FLAIR MRI.
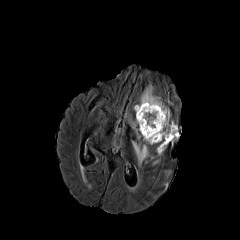
T1-weighted MR.
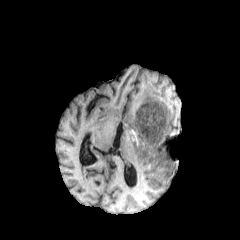
Post-contrast T1-weighted magnetic resonance.
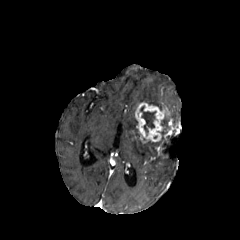
T2-weighted MRI.
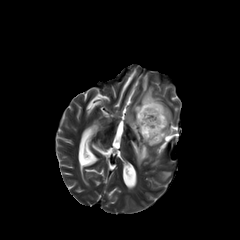
Axial plane | Brain
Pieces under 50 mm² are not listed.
The enhancing tumor is at {"x1": 135, "y1": 102, "x2": 177, "y2": 155}. The largest necrotic tumor core region is bounded by {"x1": 140, "y1": 106, "x2": 155, "y2": 132}. The 5 largest peritumoral edema regions are bounded by {"x1": 161, "y1": 117, "x2": 170, "y2": 127}, {"x1": 130, "y1": 120, "x2": 140, "y2": 139}, {"x1": 132, "y1": 129, "x2": 166, "y2": 166}, {"x1": 167, "y1": 130, "x2": 178, "y2": 142}, {"x1": 140, "y1": 85, "x2": 162, "y2": 110}.